FLAIR MRI.
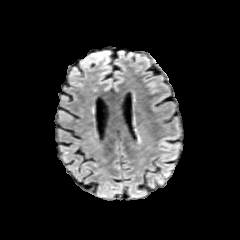
T1-weighted MR.
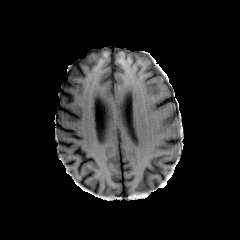
Post-contrast T1-weighted magnetic resonance.
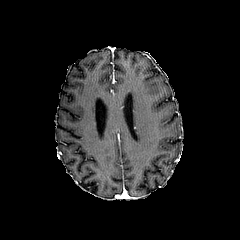
T2-weighted MRI.
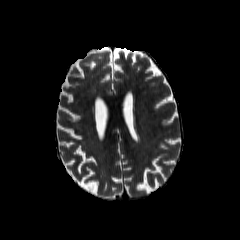
Head | Axial slice
The peritumoral edema is bounded by [x1=135, y1=127, x2=141, y2=145].